Axial view | Slice index 55
FLAIR magnetic resonance.
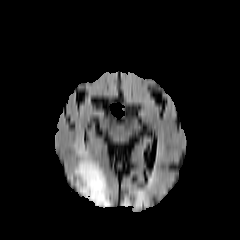
T1-weighted MR.
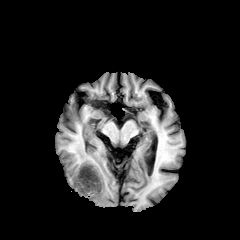
Post-contrast T1-weighted magnetic resonance.
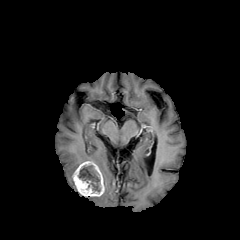
T2-weighted MR.
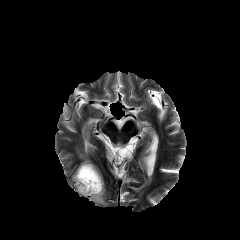
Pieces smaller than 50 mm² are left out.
necrotic tumor core = region(79, 165, 100, 191)
peritumoral edema = region(85, 167, 110, 206); region(73, 143, 93, 173)
enhancing tumor = region(72, 161, 104, 196)